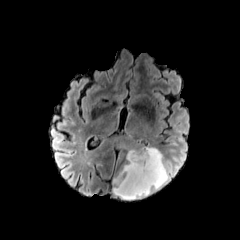
FLAIR MR.
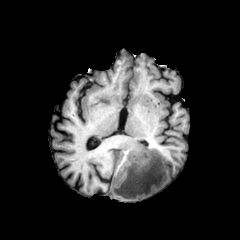
T1-weighted MR image.
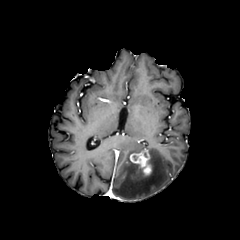
Post-contrast T1-weighted MR.
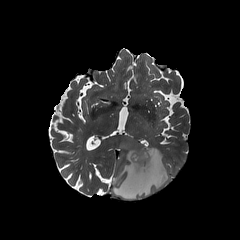
T2-weighted magnetic resonance of the same slice.
240x240, Axial slice, Brain
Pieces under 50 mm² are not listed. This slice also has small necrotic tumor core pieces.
peritumoral_edema:
  - (112, 147, 167, 200)
enhancing_tumor:
  - (130, 149, 152, 176)